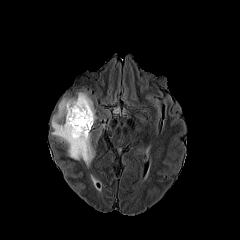
FLAIR MR.
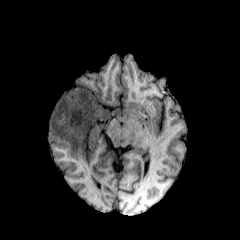
Same slice, T1-weighted MRI.
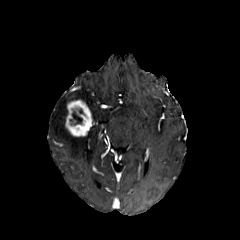
Post-contrast T1-weighted MR.
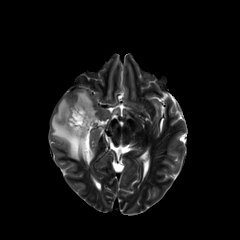
T2-weighted MR image.
Axial plane.
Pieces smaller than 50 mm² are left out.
- enhancing tumor: region(65, 99, 93, 136)
- peritumoral edema: region(51, 90, 97, 167)
- necrotic tumor core: region(70, 111, 82, 124)